FLAIR MR image.
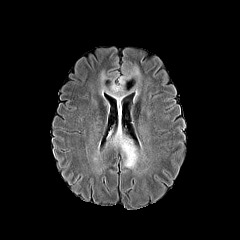
T1-weighted MR image.
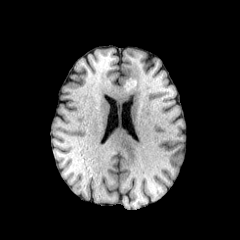
Post-contrast T1-weighted MR image.
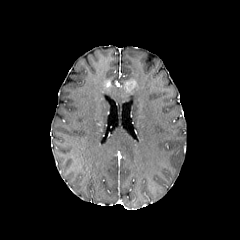
T2-weighted MR image.
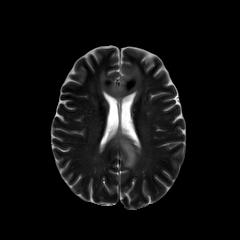
240x240 px
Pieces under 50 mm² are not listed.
Segmented structures:
- peritumoral edema: x1=110, y1=125, x2=138, y2=168; x1=100, y1=66, x2=140, y2=104